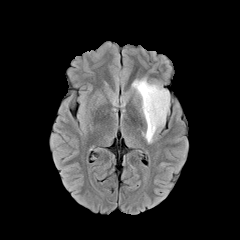
FLAIR magnetic resonance.
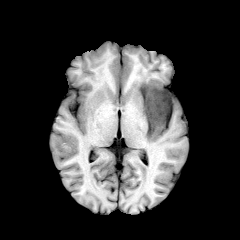
T1-weighted MR.
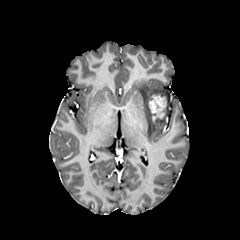
Post-contrast T1-weighted magnetic resonance.
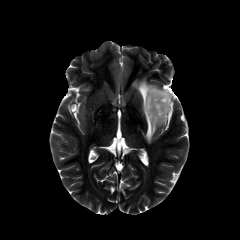
T2-weighted magnetic resonance.
Axial slice; 240x240
peritumoral edema: rect(132, 78, 169, 143)
enhancing tumor: rect(149, 95, 166, 121)